Axial slice. 240x240. Brain.
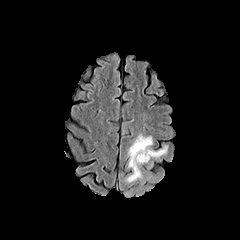
FLAIR magnetic resonance.
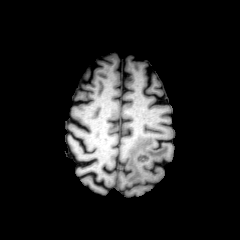
T1-weighted MRI.
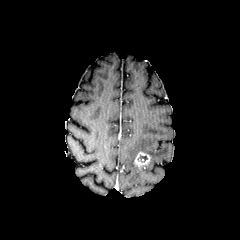
Same slice, post-contrast T1-weighted MRI.
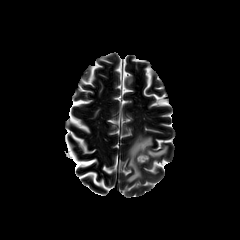
T2-weighted magnetic resonance.
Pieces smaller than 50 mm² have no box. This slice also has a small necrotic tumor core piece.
The enhancing tumor is bounded by rect(134, 152, 150, 167). The peritumoral edema lies within rect(125, 134, 168, 183).